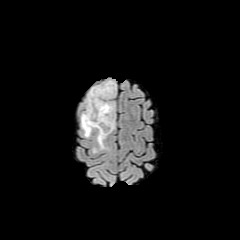
FLAIR MR image.
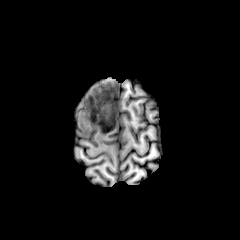
T1-weighted MR of the same slice.
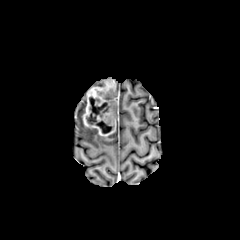
Post-contrast T1-weighted MR image.
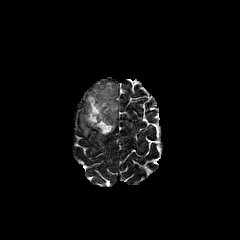
T2-weighted MRI of the same slice.
Brain.
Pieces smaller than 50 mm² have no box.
{"enhancing_tumor": ["box(82, 80, 116, 136)"], "necrotic_tumor_core": ["box(86, 97, 112, 133)"], "peritumoral_edema": ["box(81, 112, 107, 149)"]}